Slice 92 of 155
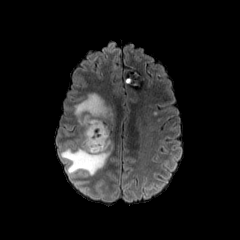
FLAIR MR.
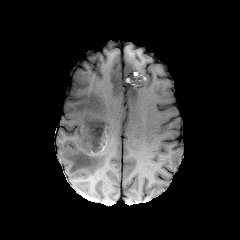
T1-weighted MR image of the same slice.
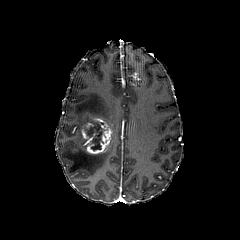
Post-contrast T1-weighted MR.
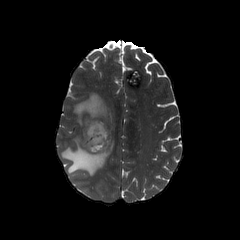
T2-weighted MR image.
peritumoral edema: 60 92 119 175 | enhancing tumor: 81 117 111 153 | necrotic tumor core: 85 121 104 150